FLAIR MR.
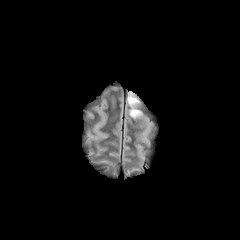
T1-weighted MRI.
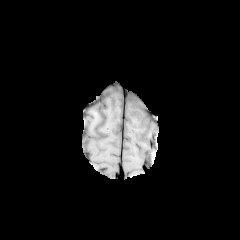
Post-contrast T1-weighted MRI.
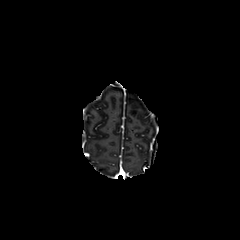
T2-weighted MR image.
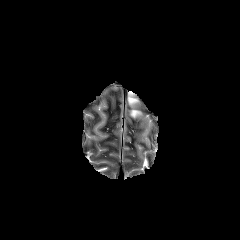
Annotated regions:
* peritumoral edema: 130 109 141 117, 128 95 138 105